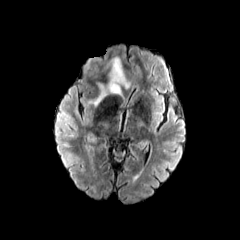
FLAIR MR image.
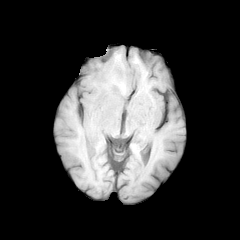
T1-weighted magnetic resonance.
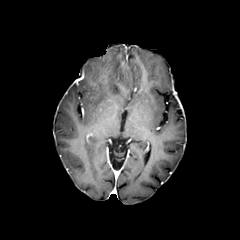
Post-contrast T1-weighted magnetic resonance.
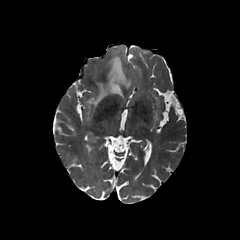
T2-weighted MRI of the same slice.
Axial view, Head
peritumoral edema = (left=88, top=57, right=130, bottom=105)